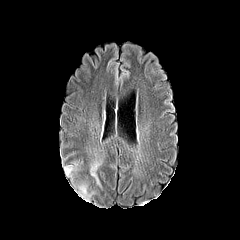
FLAIR MR.
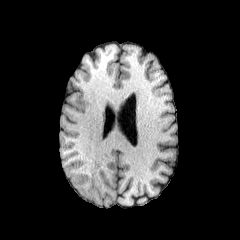
T1-weighted MR of the same slice.
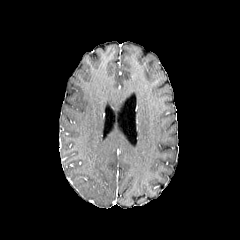
Post-contrast T1-weighted magnetic resonance.
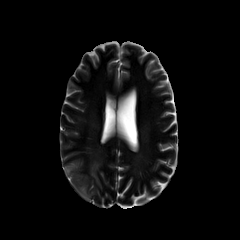
T2-weighted magnetic resonance of the same slice.
Image size 240x240; Head
Findings:
• peritumoral edema: x1=79, y1=185, x2=91, y2=197; x1=65, y1=167, x2=72, y2=175; x1=90, y1=162, x2=99, y2=184